FLAIR MRI.
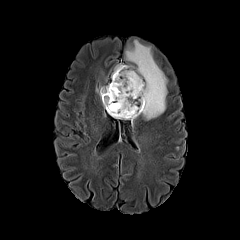
T1-weighted MR image.
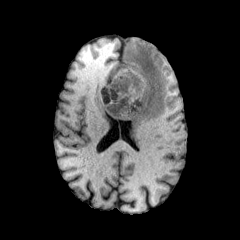
Post-contrast T1-weighted MR.
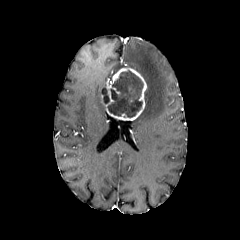
T2-weighted MR image.
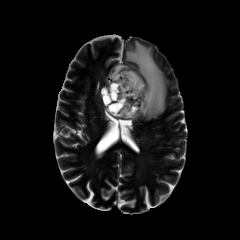
Axial slice; 240x240; Head
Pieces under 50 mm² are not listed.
peritumoral edema: bbox=[112, 64, 127, 76]; bbox=[125, 40, 167, 120] | enhancing tumor: bbox=[103, 66, 146, 120] | necrotic tumor core: bbox=[101, 87, 109, 103]; bbox=[107, 71, 143, 117]